FLAIR magnetic resonance.
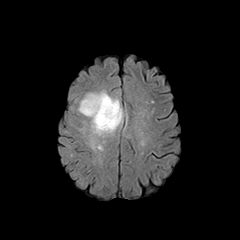
T1-weighted magnetic resonance.
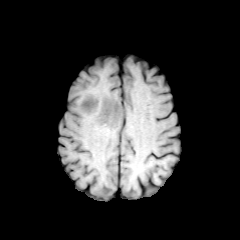
Post-contrast T1-weighted MRI.
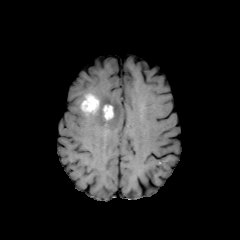
T2-weighted MRI.
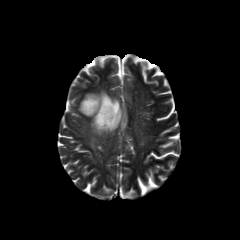
peritumoral edema — {"x1": 77, "y1": 90, "x2": 124, "y2": 150}
enhancing tumor — {"x1": 80, "y1": 94, "x2": 99, "y2": 115}, {"x1": 102, "y1": 104, "x2": 114, "y2": 121}